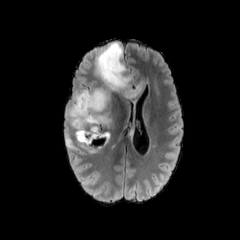
FLAIR MRI.
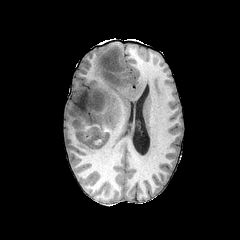
Same slice, T1-weighted magnetic resonance.
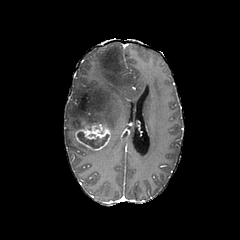
Post-contrast T1-weighted MR.
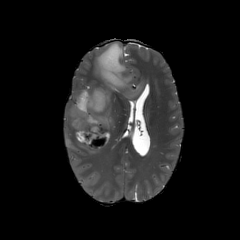
T2-weighted magnetic resonance.
Head
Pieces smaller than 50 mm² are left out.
necrotic tumor core: 77,132,108,147
enhancing tumor: 74,126,110,150
peritumoral edema: 64,42,147,153